Slice index 73. Axial view.
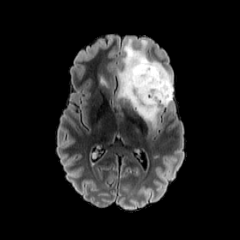
FLAIR MR.
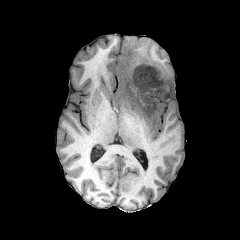
T1-weighted MR.
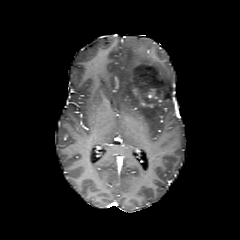
Post-contrast T1-weighted magnetic resonance.
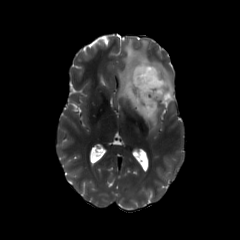
T2-weighted MR of the same slice.
peritumoral edema: 117,38,173,129; 99,76,108,87 | enhancing tumor: 129,75,168,108